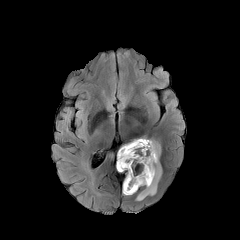
FLAIR MR image.
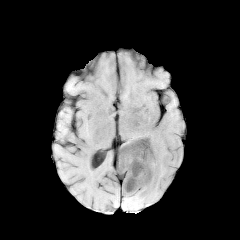
T1-weighted MRI of the same slice.
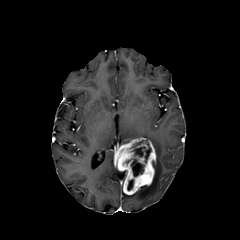
Post-contrast T1-weighted MR image.
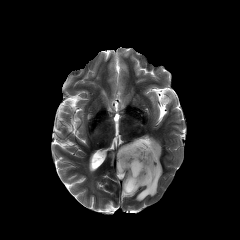
T2-weighted MRI.
Axial view
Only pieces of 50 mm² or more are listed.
The largest enhancing tumor region is at <bbox>115, 138, 156, 194</bbox>. The largest peritumoral edema region lies within <bbox>136, 137, 162, 200</bbox>. The 3 largest necrotic tumor core regions appear at <bbox>127, 179, 133, 190</bbox>, <bbox>131, 158, 144, 176</bbox>, <bbox>132, 140, 151, 162</bbox>.